FLAIR MR.
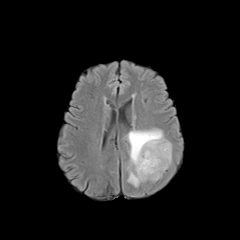
T1-weighted MRI.
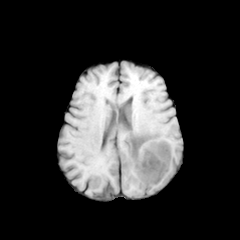
Post-contrast T1-weighted MRI.
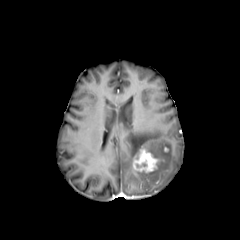
T2-weighted MRI.
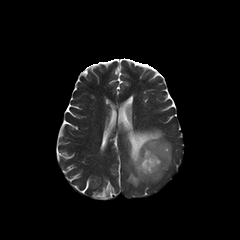
240x240
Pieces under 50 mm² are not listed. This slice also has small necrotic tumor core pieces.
enhancing_tumor:
  - 133, 149, 158, 172
peritumoral_edema:
  - 126, 129, 171, 187